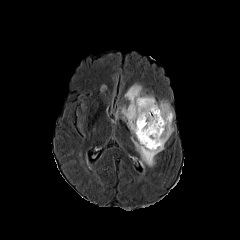
FLAIR MR.
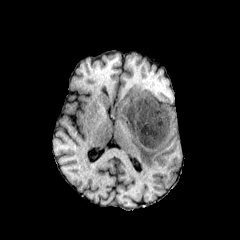
T1-weighted MRI.
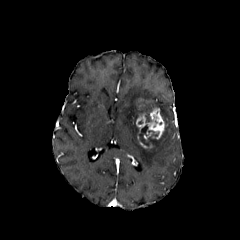
Post-contrast T1-weighted MR image.
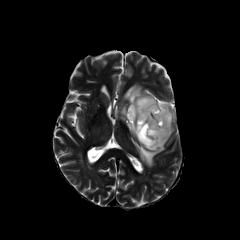
Same slice, T2-weighted MR.
Axial plane
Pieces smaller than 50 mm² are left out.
The largest necrotic tumor core region appears at 139 125 151 146. 2 enhancing tumor regions are bounded by 138 99 152 109, 136 106 165 148. The largest peritumoral edema region appears at 120 84 174 166.